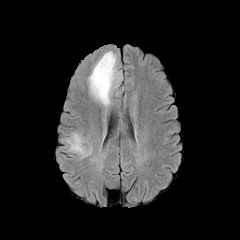
FLAIR MR image.
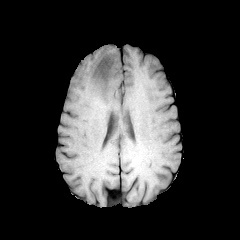
Same slice, T1-weighted MRI.
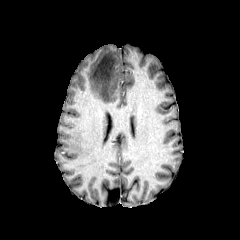
Same slice, post-contrast T1-weighted MR.
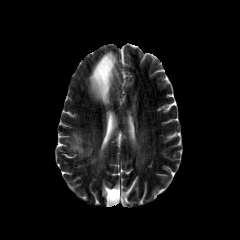
T2-weighted magnetic resonance.
Head
The peritumoral edema is bounded by box=[88, 51, 120, 105].